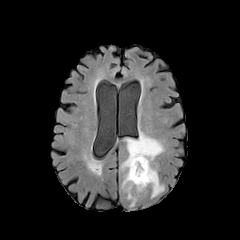
FLAIR magnetic resonance.
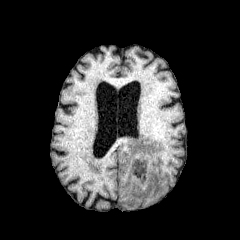
Same slice, T1-weighted magnetic resonance.
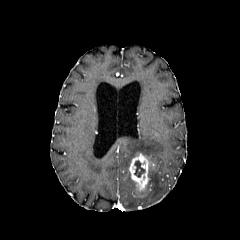
Post-contrast T1-weighted MR image of the same slice.
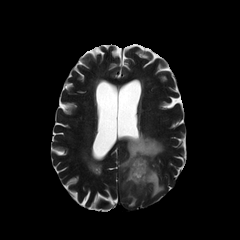
Same slice, T2-weighted MR image.
Axial plane | Head
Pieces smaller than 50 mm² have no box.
{"enhancing_tumor": ["(x1=129, y1=153, x2=149, y2=191)"], "peritumoral_edema": ["(x1=121, y1=132, x2=164, y2=206)", "(x1=148, y1=166, x2=164, y2=197)"], "necrotic_tumor_core": ["(x1=134, y1=161, x2=145, y2=177)"]}